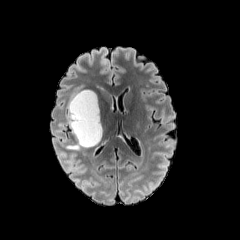
FLAIR MRI.
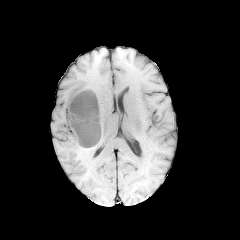
T1-weighted MR.
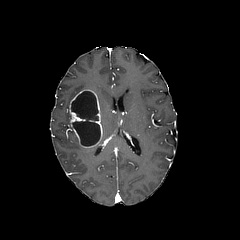
Same slice, post-contrast T1-weighted MRI.
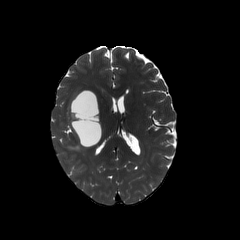
T2-weighted MR.
Axial view | 240x240 px
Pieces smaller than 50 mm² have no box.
necrotic tumor core at <bbox>71, 91, 98, 120</bbox>, <bbox>72, 121, 100, 146</bbox>
peritumoral edema at <bbox>66, 141, 82, 150</bbox>
enhancing tumor at <bbox>69, 89, 102, 147</bbox>